FLAIR MR image.
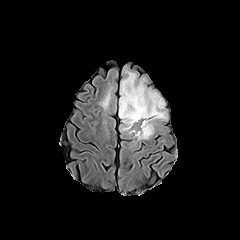
T1-weighted MR.
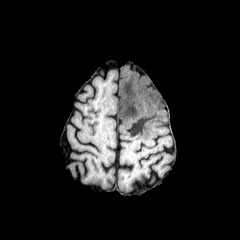
Post-contrast T1-weighted MR.
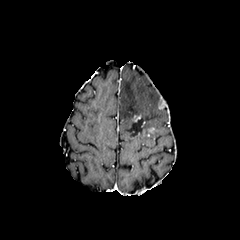
T2-weighted MRI.
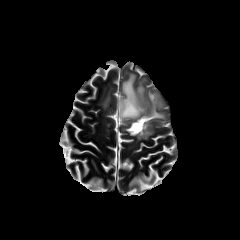
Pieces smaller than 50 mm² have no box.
necrotic tumor core — [x1=122, y1=91, x2=147, y2=135]
enhancing tumor — [x1=147, y1=127, x2=154, y2=136]
peritumoral edema — [x1=119, y1=70, x2=166, y2=134], [x1=101, y1=90, x2=110, y2=109]